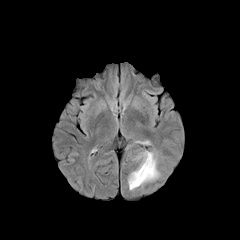
FLAIR MR.
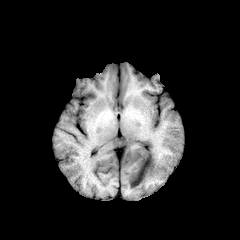
Same slice, T1-weighted MR.
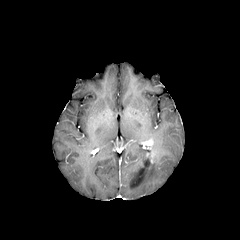
Same slice, post-contrast T1-weighted magnetic resonance.
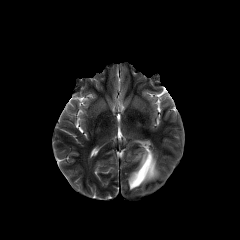
T2-weighted MR of the same slice.
Head
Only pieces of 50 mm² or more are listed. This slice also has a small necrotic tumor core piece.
peritumoral edema: l=128, t=151, r=159, b=190 | enhancing tumor: l=145, t=152, r=154, b=163